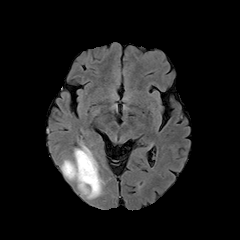
FLAIR magnetic resonance.
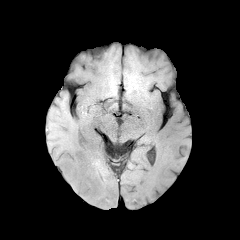
T1-weighted MR image.
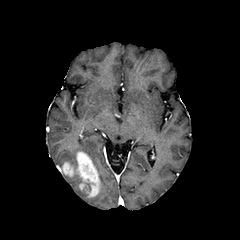
Post-contrast T1-weighted MR of the same slice.
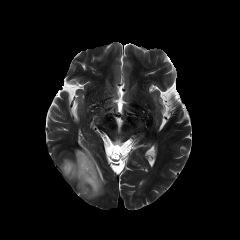
T2-weighted magnetic resonance of the same slice.
Brain; Image size 240x240
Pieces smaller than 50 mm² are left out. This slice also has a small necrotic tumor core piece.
peritumoral edema at [64, 173, 104, 199], [61, 144, 99, 172]
enhancing tumor at [62, 151, 100, 197]